FLAIR MRI.
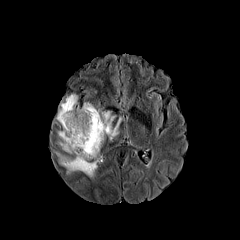
T1-weighted magnetic resonance.
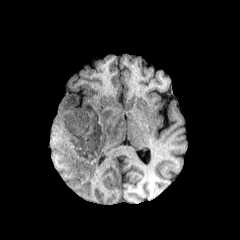
Post-contrast T1-weighted MR image.
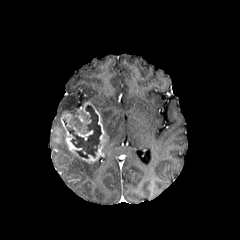
T2-weighted MRI.
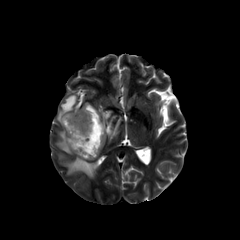
Brain.
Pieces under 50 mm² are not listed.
4 peritumoral edema regions are bounded by <bbox>58, 129, 71, 153</bbox>, <bbox>57, 153, 98, 177</bbox>, <bbox>57, 94, 77, 122</bbox>, <bbox>98, 109, 121, 140</bbox>. The 2 largest necrotic tumor core regions are located at <bbox>72, 113, 82, 126</bbox>, <bbox>66, 105, 101, 158</bbox>. The largest enhancing tumor region is located at <bbox>60, 102, 105, 162</bbox>.